FLAIR MR image.
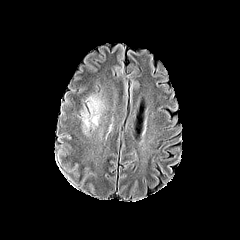
T1-weighted magnetic resonance.
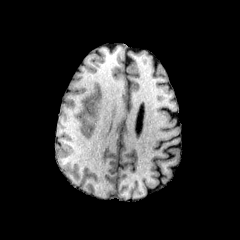
Post-contrast T1-weighted MRI.
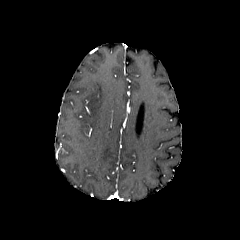
T2-weighted MRI.
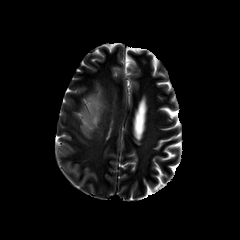
Brain; Image size 240x240; Axial slice
The peritumoral edema is bounded by {"x1": 83, "y1": 96, "x2": 103, "y2": 127}.